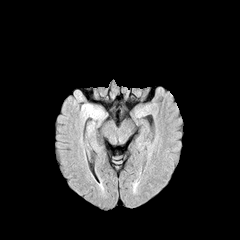
FLAIR magnetic resonance.
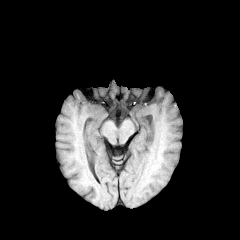
T1-weighted MR image.
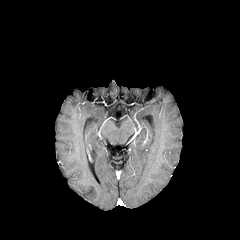
Same slice, post-contrast T1-weighted MRI.
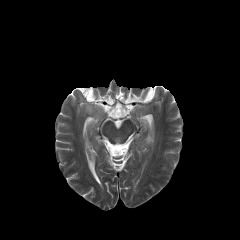
T2-weighted magnetic resonance of the same slice.
Brain | 240x240
peritumoral edema: bbox=[81, 105, 104, 118]